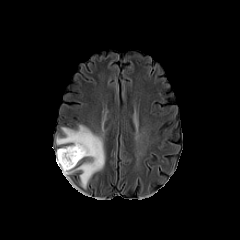
FLAIR MR.
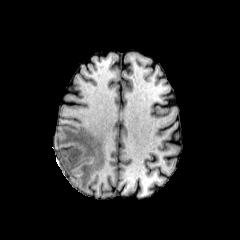
T1-weighted MRI.
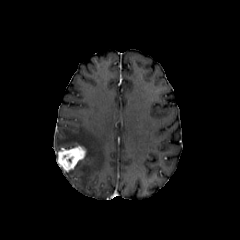
Post-contrast T1-weighted MR of the same slice.
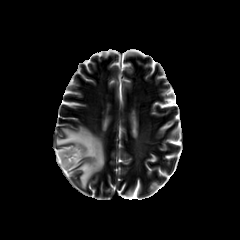
T2-weighted MR.
Head. Axial slice.
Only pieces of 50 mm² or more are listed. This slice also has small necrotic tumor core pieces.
The largest peritumoral edema region appears at bbox(56, 125, 105, 188). The enhancing tumor is located at bbox(56, 145, 86, 172).